Brain. Slice index 79.
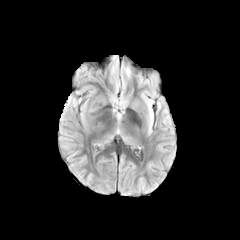
FLAIR MR image.
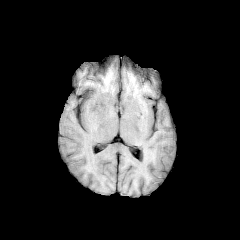
Same slice, T1-weighted MRI.
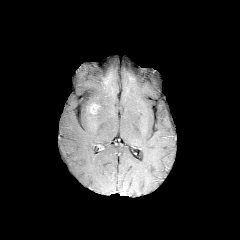
Post-contrast T1-weighted MRI.
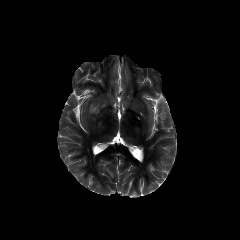
Same slice, T2-weighted MRI.
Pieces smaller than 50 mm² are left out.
peritumoral edema at l=85, t=106, r=101, b=119
enhancing tumor at l=88, t=103, r=101, b=115